FLAIR MR.
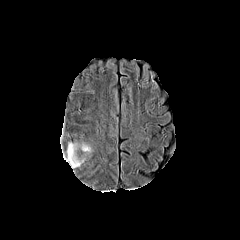
T1-weighted MRI.
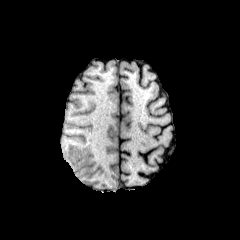
Post-contrast T1-weighted MR.
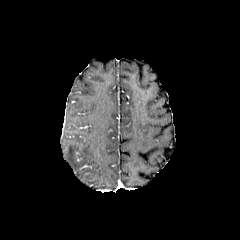
T2-weighted MR image.
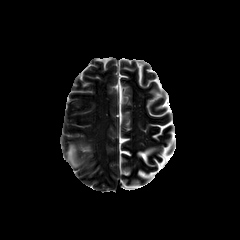
Axial view. Head.
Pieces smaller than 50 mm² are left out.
The largest peritumoral edema region is bounded by 67:143:80:167.